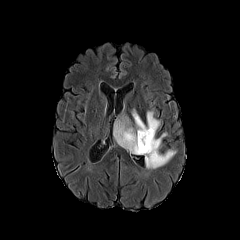
FLAIR MRI.
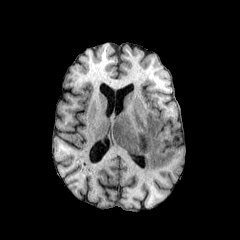
Same slice, T1-weighted magnetic resonance.
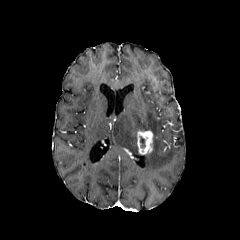
Post-contrast T1-weighted MR image of the same slice.
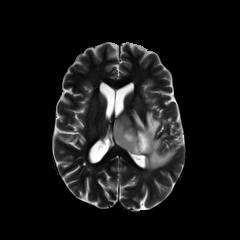
T2-weighted MR image of the same slice.
240x240 | Head
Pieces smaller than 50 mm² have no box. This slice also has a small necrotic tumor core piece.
enhancing tumor: bounding box (137,131,153,154)
peritumoral edema: bounding box (113,109,176,169)